240x240, Slice 75/155
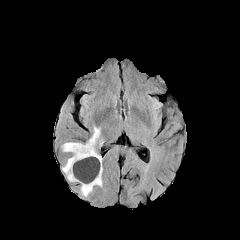
FLAIR MR.
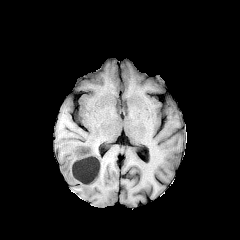
T1-weighted magnetic resonance.
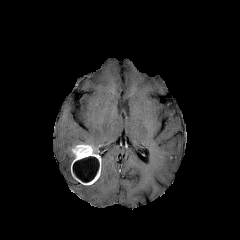
Post-contrast T1-weighted MR of the same slice.
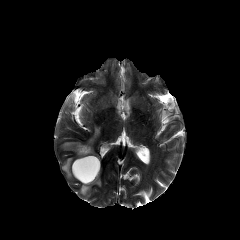
T2-weighted magnetic resonance.
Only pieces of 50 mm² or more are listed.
The necrotic tumor core appears at x1=73, y1=156, x2=99, y2=182. The 4 largest peritumoral edema regions are located at x1=80, y1=168, x2=102, y2=196; x1=62, y1=142, x2=83, y2=151; x1=85, y1=126, x2=100, y2=148; x1=62, y1=155, x2=75, y2=181. The enhancing tumor is at x1=71, y1=144, x2=101, y2=185.